FLAIR MR image.
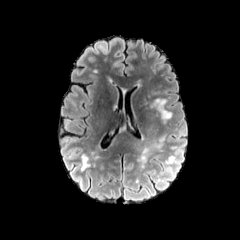
T1-weighted magnetic resonance.
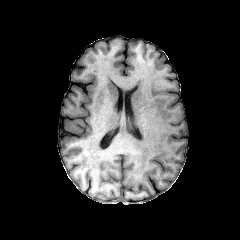
Post-contrast T1-weighted MRI.
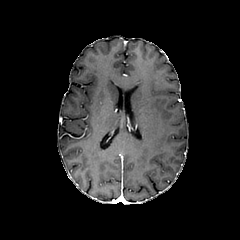
T2-weighted MRI.
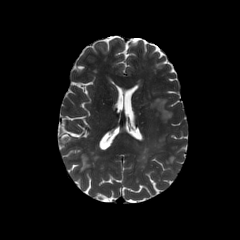
Head
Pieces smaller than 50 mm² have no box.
peritumoral edema: (left=140, top=147, right=149, bottom=167)